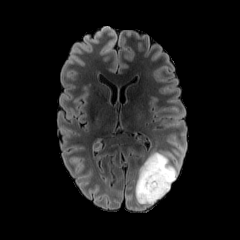
FLAIR MR image.
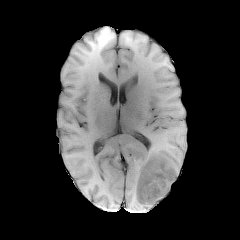
Same slice, T1-weighted MR.
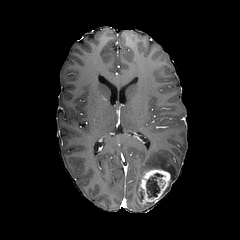
Post-contrast T1-weighted MR image.
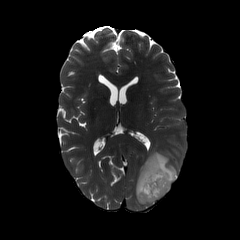
T2-weighted MR image.
Head
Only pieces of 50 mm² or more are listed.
Segmented structures:
* enhancing tumor: (139, 169, 170, 203)
* peritumoral edema: (135, 151, 178, 206)
* necrotic tumor core: (146, 173, 162, 197)